Axial view | 240x240 px | Slice index 105
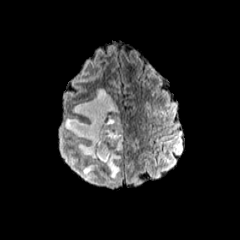
FLAIR MRI.
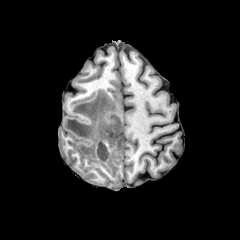
Same slice, T1-weighted MR.
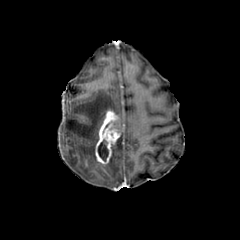
Post-contrast T1-weighted magnetic resonance of the same slice.
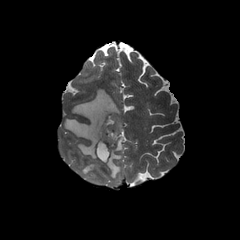
T2-weighted magnetic resonance.
peritumoral edema: rect(64, 88, 120, 179); rect(106, 133, 122, 178)
necrotic tumor core: rect(98, 120, 121, 161)
enhancing tumor: rect(95, 109, 123, 164)